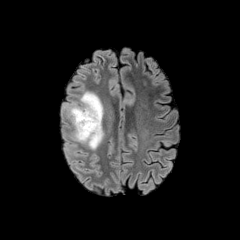
FLAIR MRI.
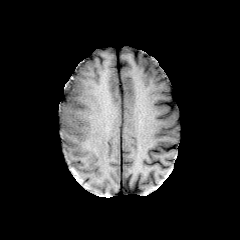
Same slice, T1-weighted MR.
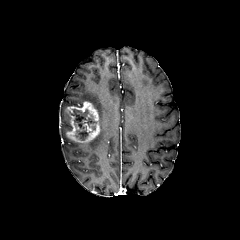
Post-contrast T1-weighted MR of the same slice.
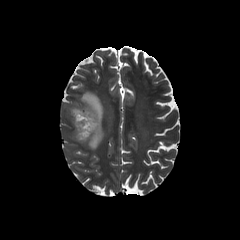
T2-weighted MR image.
240x240 px
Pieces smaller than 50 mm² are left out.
The 2 largest peritumoral edema regions are bounded by (62, 91, 103, 149), (63, 131, 76, 152). The 2 largest necrotic tumor core regions appear at (77, 130, 88, 140), (71, 109, 88, 128). The enhancing tumor is bounded by (65, 101, 100, 143).